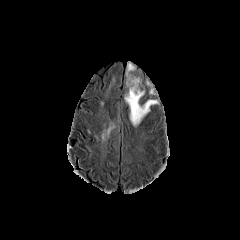
FLAIR MR image.
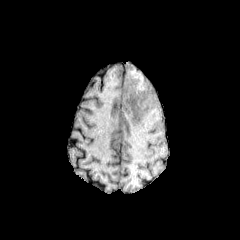
Same slice, T1-weighted MR image.
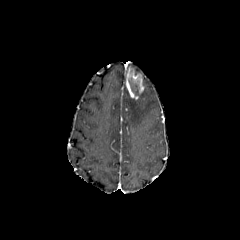
Post-contrast T1-weighted MRI.
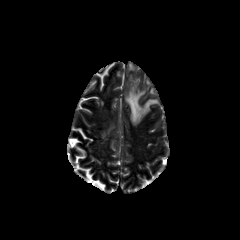
T2-weighted magnetic resonance of the same slice.
Brain
<segmentation>
  <necrotic_tumor_core>(left=129, top=78, right=138, bottom=94)</necrotic_tumor_core>
  <enhancing_tumor>(left=126, top=68, right=144, bottom=99)</enhancing_tumor>
  <peritumoral_edema>(left=126, top=64, right=135, bottom=75), (left=145, top=78, right=154, bottom=94), (left=124, top=88, right=158, bottom=126)</peritumoral_edema>
</segmentation>